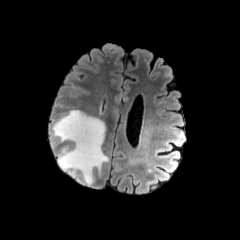
FLAIR MRI.
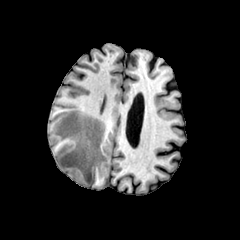
T1-weighted MR of the same slice.
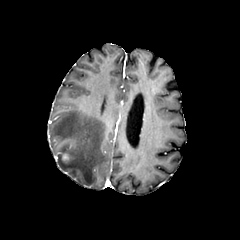
Post-contrast T1-weighted magnetic resonance.
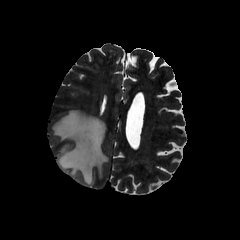
T2-weighted magnetic resonance.
Brain
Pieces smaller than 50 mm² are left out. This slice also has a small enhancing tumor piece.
peritumoral_edema:
  - bbox(52, 110, 108, 185)